FLAIR MRI.
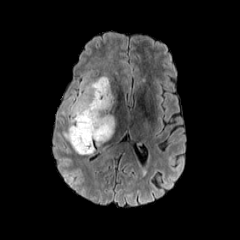
T1-weighted magnetic resonance.
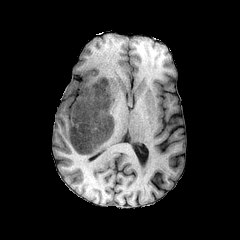
Post-contrast T1-weighted MR image.
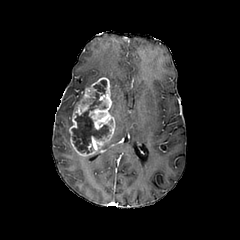
T2-weighted MR image.
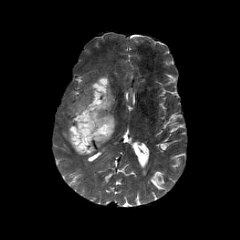
Brain
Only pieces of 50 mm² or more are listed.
necrotic tumor core: x1=72 y1=92 x2=108 y2=153, x1=93 y1=79 x2=106 y2=93 | enhancing tumor: x1=69 y1=77 x2=115 y2=156 | peritumoral edema: x1=59 y1=74 x2=110 y2=141